FLAIR magnetic resonance.
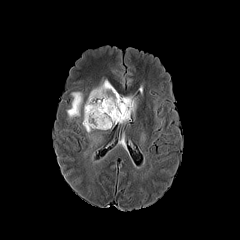
T1-weighted MR.
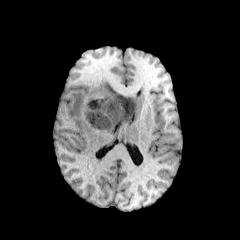
Post-contrast T1-weighted magnetic resonance.
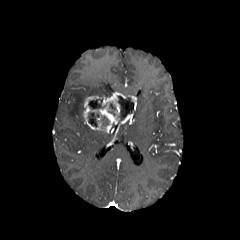
T2-weighted MR.
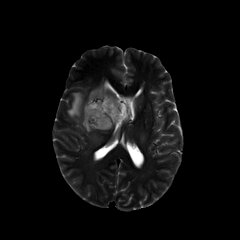
Brain | Axial slice
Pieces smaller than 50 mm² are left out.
The enhancing tumor is bounded by rect(83, 92, 136, 131). The 3 largest peritumoral edema regions are bounded by rect(82, 118, 91, 132); rect(67, 92, 82, 119); rect(89, 80, 116, 96). The 3 largest necrotic tumor core regions are located at rect(118, 96, 133, 120); rect(89, 113, 98, 126); rect(88, 99, 101, 109).